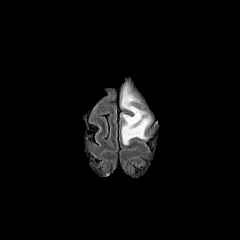
FLAIR MR image.
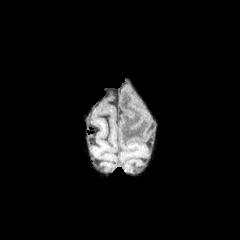
T1-weighted MRI.
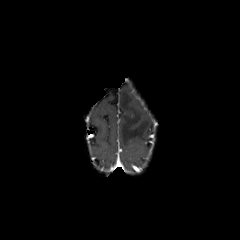
Post-contrast T1-weighted magnetic resonance of the same slice.
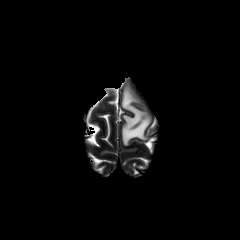
T2-weighted MRI.
peritumoral edema — (120, 82, 151, 145)